FLAIR MR.
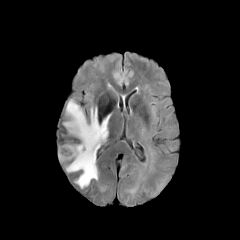
T1-weighted magnetic resonance.
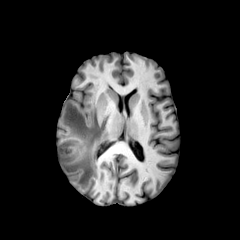
Post-contrast T1-weighted MR image.
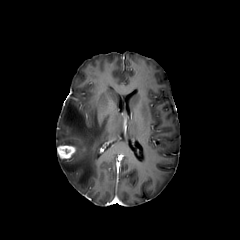
T2-weighted MR.
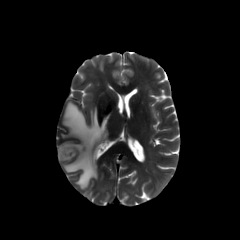
Brain
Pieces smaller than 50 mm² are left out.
The enhancing tumor is located at x1=58 y1=145 x2=75 y2=159. The largest peritumoral edema region is bounded by x1=63 y1=100 x2=110 y2=188.